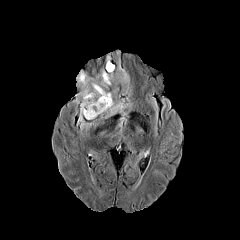
FLAIR MRI.
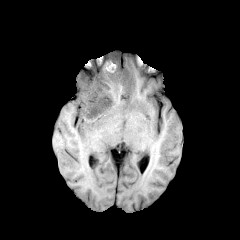
T1-weighted MR image.
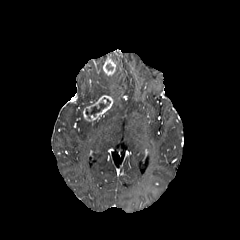
Post-contrast T1-weighted MRI.
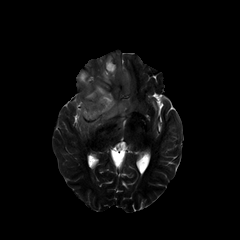
Same slice, T2-weighted MR.
Axial slice | Head
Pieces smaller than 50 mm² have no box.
enhancing tumor: [x1=83, y1=95, x2=113, y2=121], [x1=103, y1=58, x2=116, y2=75]
necrotic tumor core: [x1=86, y1=99, x2=110, y2=118]
peritumoral edema: [x1=76, y1=52, x2=129, y2=131], [x1=101, y1=100, x2=128, y2=127]